Image width 240 mm, 1.00 mm slice spacing; Axial view; Slice index 118; Head
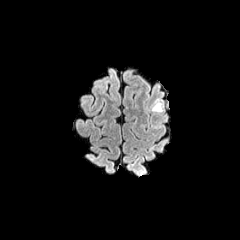
FLAIR MR image.
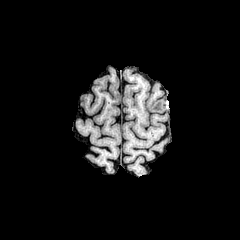
T1-weighted MR of the same slice.
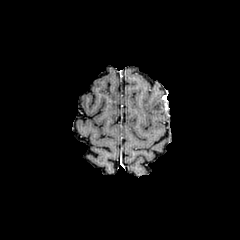
Post-contrast T1-weighted MR.
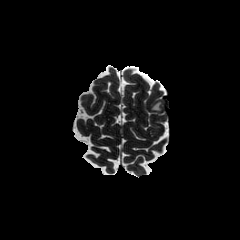
T2-weighted magnetic resonance.
peritumoral edema at [152,102,162,111]